240x240; Brain
FLAIR magnetic resonance.
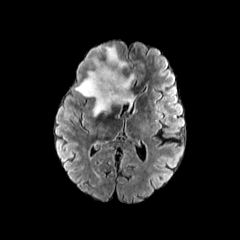
T1-weighted MRI.
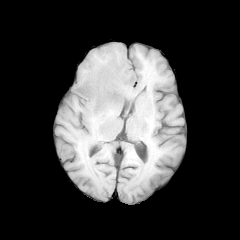
Post-contrast T1-weighted magnetic resonance.
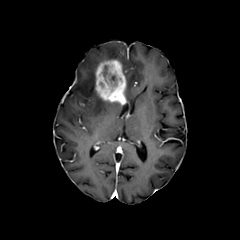
T2-weighted MR.
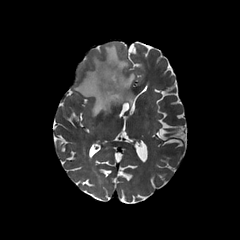
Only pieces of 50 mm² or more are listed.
necrotic tumor core: {"x1": 98, "y1": 65, "x2": 122, "y2": 97} | peritumoral edema: {"x1": 74, "y1": 57, "x2": 119, "y2": 117}, {"x1": 105, "y1": 46, "x2": 128, "y2": 70}, {"x1": 126, "y1": 74, "x2": 135, "y2": 111} | enhancing tumor: {"x1": 94, "y1": 59, "x2": 126, "y2": 105}